Axial plane | Head | Slice index 133 | Image size 240x240
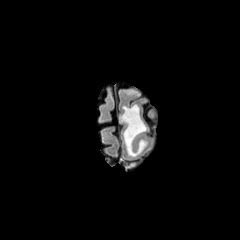
FLAIR MR.
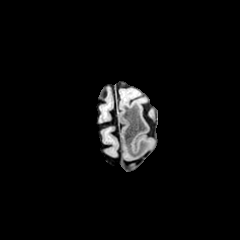
T1-weighted MR.
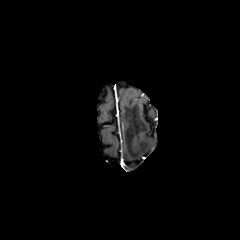
Post-contrast T1-weighted MRI.
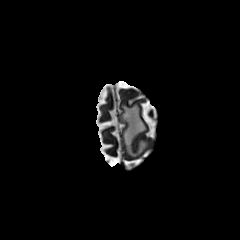
T2-weighted MR image.
<segmentation>
  <peritumoral_edema>(left=120, top=103, right=148, bottom=156)</peritumoral_edema>
</segmentation>